FLAIR MR.
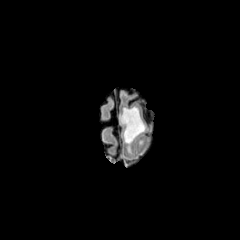
T1-weighted MR.
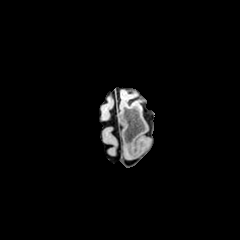
Post-contrast T1-weighted MR.
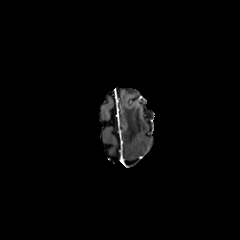
T2-weighted MR.
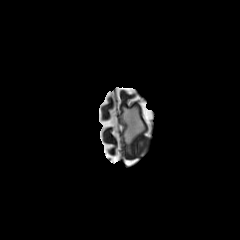
Axial slice, Brain
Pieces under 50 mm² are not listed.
peritumoral edema — 119:106:146:153